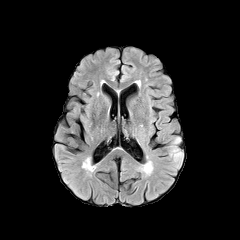
FLAIR MRI.
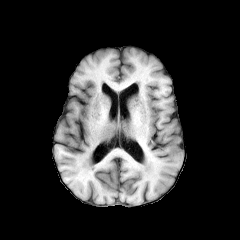
T1-weighted MRI of the same slice.
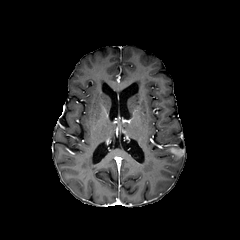
Post-contrast T1-weighted MRI of the same slice.
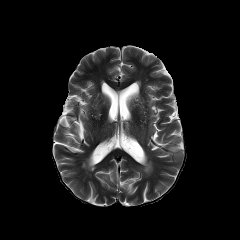
T2-weighted MR image.
Head
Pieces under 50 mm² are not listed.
The largest peritumoral edema region is at 169 147 182 161. The enhancing tumor is located at 170 147 183 157.